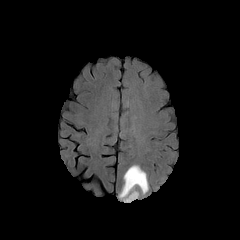
FLAIR MR image.
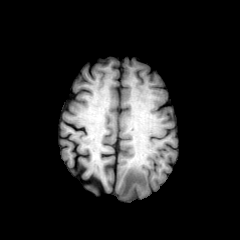
Same slice, T1-weighted MRI.
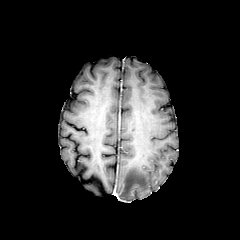
Post-contrast T1-weighted magnetic resonance of the same slice.
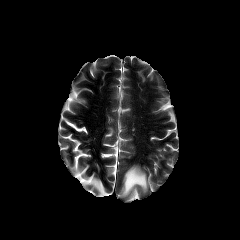
T2-weighted MR.
The peritumoral edema lies within (left=119, top=165, right=148, bottom=201).